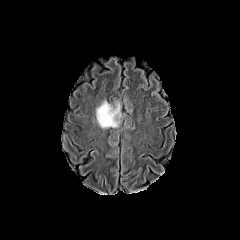
FLAIR MR.
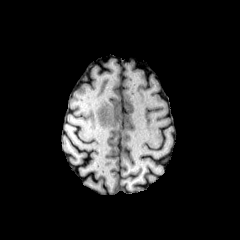
T1-weighted MR image.
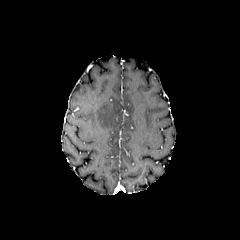
Post-contrast T1-weighted magnetic resonance.
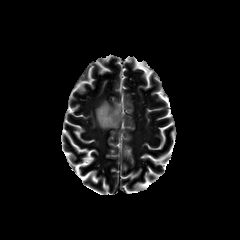
T2-weighted MRI.
240x240
peritumoral edema — x1=96 y1=100 x2=120 y2=128